Axial view, Slice index 92
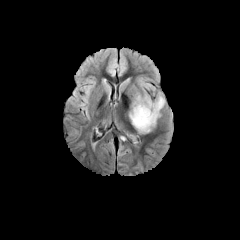
FLAIR MR image.
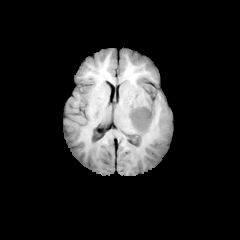
T1-weighted magnetic resonance.
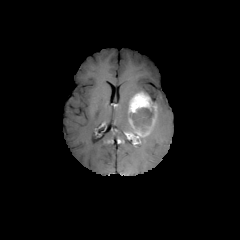
Post-contrast T1-weighted MRI.
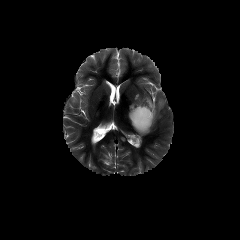
T2-weighted MR.
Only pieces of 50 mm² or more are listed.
necrotic tumor core: bounding box x1=141, y1=108, x2=153, y2=123
enhancing tumor: bounding box x1=129, y1=93, x2=157, y2=136
peritumoral edema: bounding box x1=153, y1=97, x2=164, y2=120